Axial view; Slice 73 of 155
FLAIR magnetic resonance.
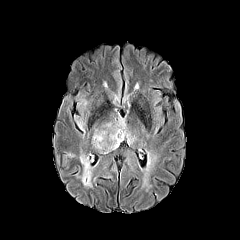
T1-weighted magnetic resonance.
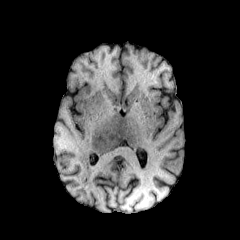
Post-contrast T1-weighted MR.
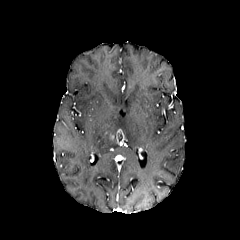
T2-weighted MRI.
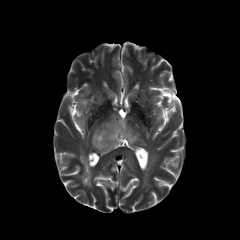
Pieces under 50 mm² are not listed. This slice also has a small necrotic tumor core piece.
Segmented structures:
• enhancing tumor: 116 129 124 143
• peritumoral edema: 77 119 85 129, 91 110 136 154, 79 154 92 187